FLAIR magnetic resonance.
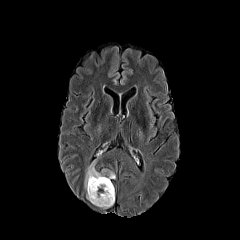
T1-weighted MR.
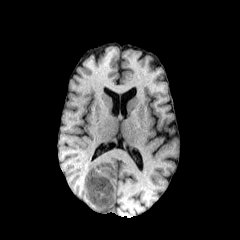
Post-contrast T1-weighted MRI.
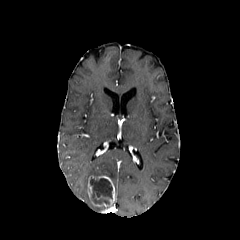
T2-weighted magnetic resonance.
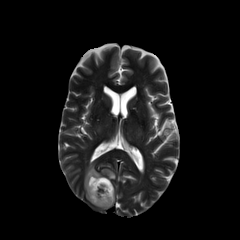
Brain | Image size 240x240
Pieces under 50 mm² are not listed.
The largest enhancing tumor region lies within box(87, 175, 114, 208). The necrotic tumor core is at box(90, 177, 112, 204). The largest peritumoral edema region is bounded by box(84, 163, 115, 191).